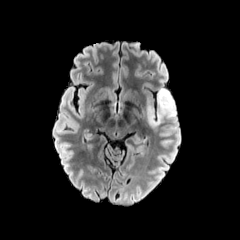
FLAIR MRI.
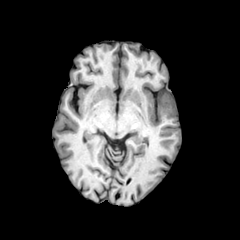
T1-weighted MR image of the same slice.
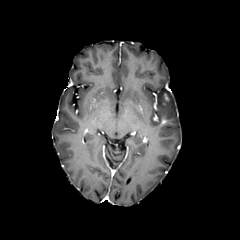
Post-contrast T1-weighted MRI.
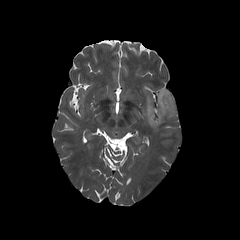
T2-weighted magnetic resonance.
Head; Image size 240x240
Findings:
* enhancing tumor: <box>161,92,170,106</box>
* peritumoral edema: <box>143,88,176,127</box>